Brain, Axial view
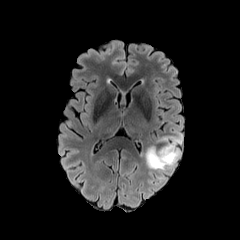
FLAIR MR.
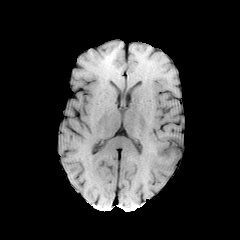
T1-weighted magnetic resonance of the same slice.
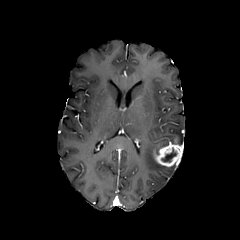
Post-contrast T1-weighted MRI.
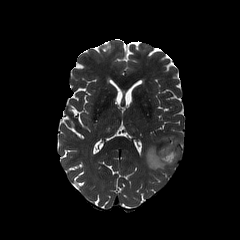
T2-weighted magnetic resonance.
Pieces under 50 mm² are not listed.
enhancing tumor: <bbox>154, 139, 181, 166</bbox> | necrotic tumor core: <bbox>161, 149, 176, 161</bbox> | peritumoral edema: <bbox>145, 133, 182, 170</bbox>